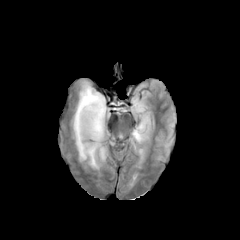
FLAIR MR image.
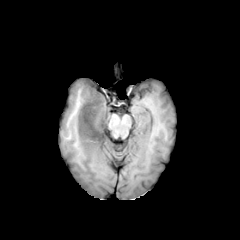
T1-weighted MR of the same slice.
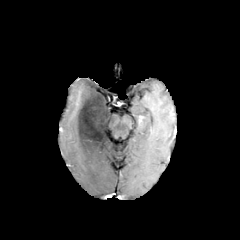
Post-contrast T1-weighted MR.
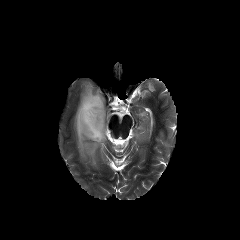
T2-weighted MR.
Axial plane; 240x240 px
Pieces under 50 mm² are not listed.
The 2 largest peritumoral edema regions are located at (73,84,109,168), (133,131,145,142). The necrotic tumor core is bounded by (77,92,105,143).